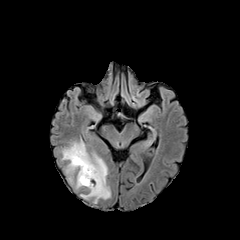
FLAIR MRI.
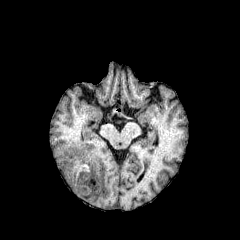
T1-weighted MRI.
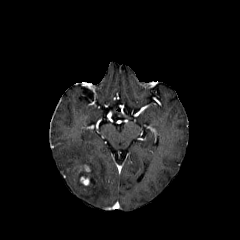
Post-contrast T1-weighted MRI.
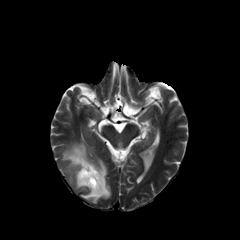
T2-weighted MR image.
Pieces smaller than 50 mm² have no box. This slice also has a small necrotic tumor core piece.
{
  "peritumoral_edema": [
    "<bbox>61, 139, 110, 203</bbox>"
  ],
  "enhancing_tumor": [
    "<bbox>80, 176, 89, 185</bbox>"
  ]
}